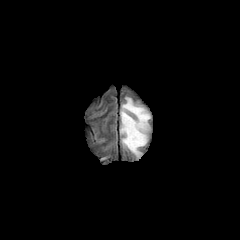
FLAIR magnetic resonance.
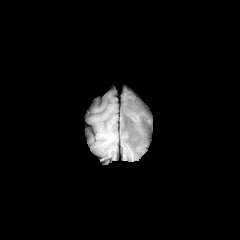
Same slice, T1-weighted MR.
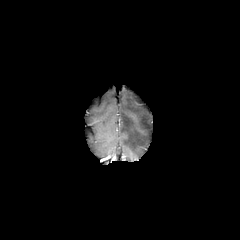
Post-contrast T1-weighted magnetic resonance of the same slice.
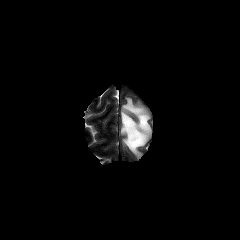
T2-weighted MR image of the same slice.
<segmentation>
  <peritumoral_edema>bbox(120, 97, 150, 158)</peritumoral_edema>
</segmentation>